FLAIR MRI.
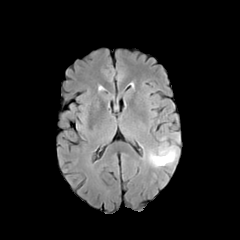
T1-weighted MRI.
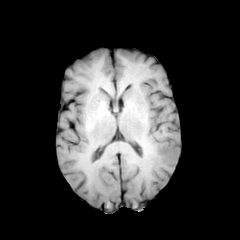
Post-contrast T1-weighted magnetic resonance.
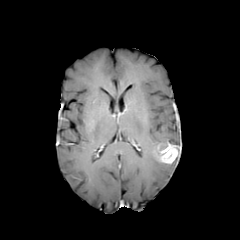
T2-weighted MR image.
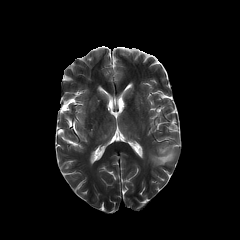
Axial plane
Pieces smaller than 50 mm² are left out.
The enhancing tumor is located at 157, 143, 178, 163. The largest peritumoral edema region is located at 148, 147, 172, 167.